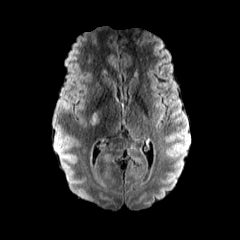
FLAIR MR.
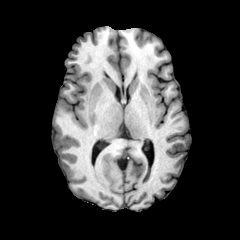
T1-weighted MRI.
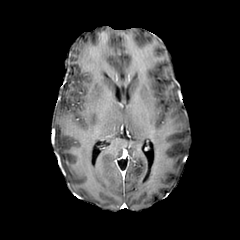
Same slice, post-contrast T1-weighted MRI.
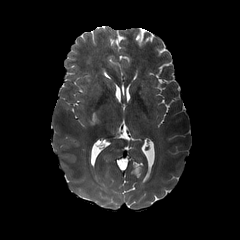
Same slice, T2-weighted MR image.
Image size 240x240 | Head
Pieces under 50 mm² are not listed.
peritumoral edema: (left=89, top=112, right=100, bottom=125)